FLAIR MR image.
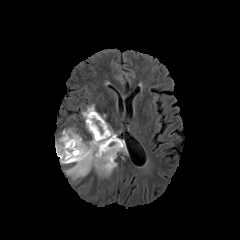
T1-weighted MRI.
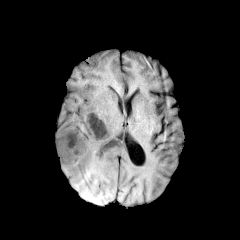
Post-contrast T1-weighted MRI.
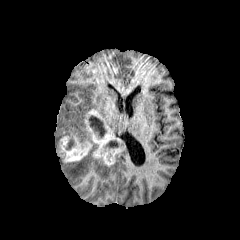
T2-weighted MRI.
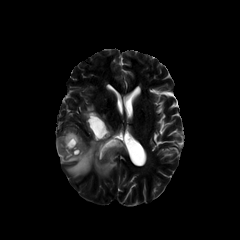
Axial slice, Brain
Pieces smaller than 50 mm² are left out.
peritumoral_edema:
  - bbox(100, 114, 116, 137)
  - bbox(60, 139, 117, 179)
  - bbox(121, 140, 127, 153)
  - bbox(55, 127, 76, 156)
  - bbox(82, 104, 95, 119)
necrotic_tumor_core:
  - bbox(89, 115, 106, 136)
  - bbox(106, 140, 119, 148)
  - bbox(66, 136, 74, 150)
enhancing_tumor:
  - bbox(57, 131, 92, 162)
  - bbox(85, 109, 122, 165)